FLAIR MR.
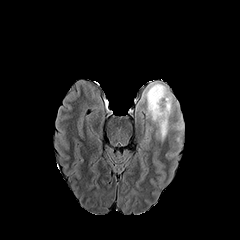
T1-weighted MRI.
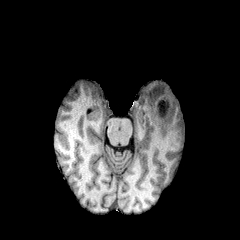
Post-contrast T1-weighted MR image.
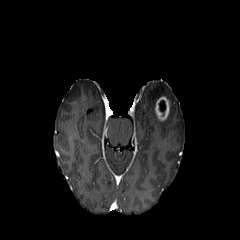
T2-weighted MR image.
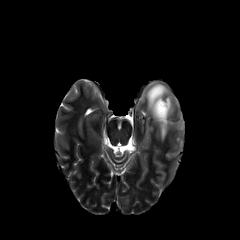
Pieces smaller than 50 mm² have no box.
The necrotic tumor core lies within left=158, top=100, right=165, bottom=115. The enhancing tumor is located at left=155, top=96, right=169, bottom=121. The 2 largest peritumoral edema regions are located at left=176, top=113, right=184, bottom=131; left=140, top=82, right=174, bottom=143.